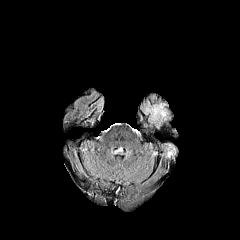
FLAIR MRI.
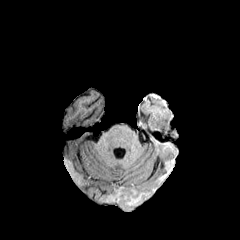
T1-weighted MRI of the same slice.
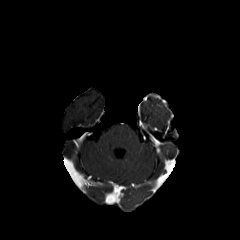
Post-contrast T1-weighted MR of the same slice.
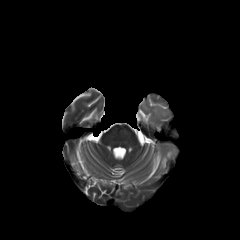
Same slice, T2-weighted magnetic resonance.
Axial view
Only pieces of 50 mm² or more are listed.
Segmented structures:
* peritumoral edema: rect(152, 107, 166, 116)